FLAIR MR.
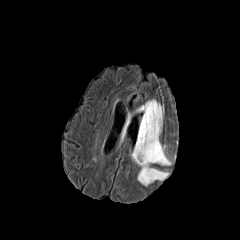
T1-weighted magnetic resonance.
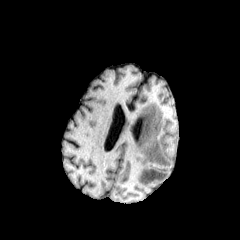
Post-contrast T1-weighted MR image.
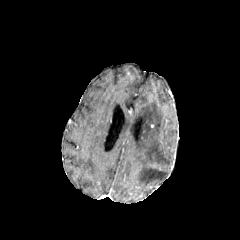
T2-weighted magnetic resonance.
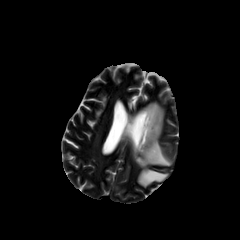
<segmentation>
  <peritumoral_edema>bbox(132, 100, 171, 186)</peritumoral_edema>
</segmentation>